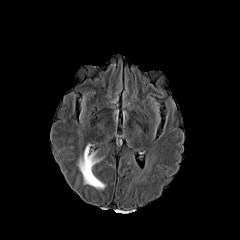
FLAIR MR image.
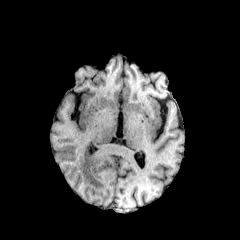
Same slice, T1-weighted MRI.
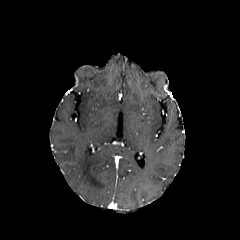
Post-contrast T1-weighted MR image of the same slice.
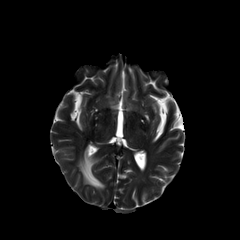
T2-weighted MR image.
Image size 240x240; Axial plane
The peritumoral edema appears at x1=78, y1=146, x2=104, y2=188.